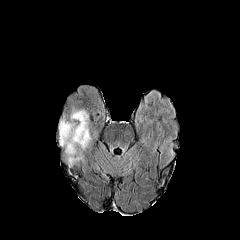
FLAIR MRI.
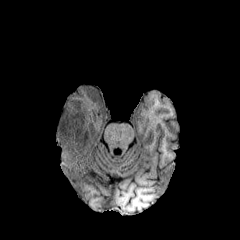
T1-weighted MR image of the same slice.
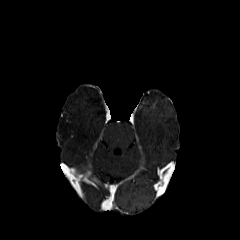
Post-contrast T1-weighted magnetic resonance.
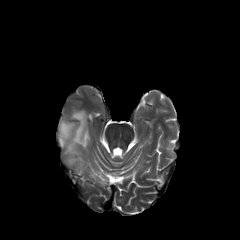
T2-weighted MR.
240x240
2 peritumoral edema regions appear at [68,157,81,164], [59,110,89,155].